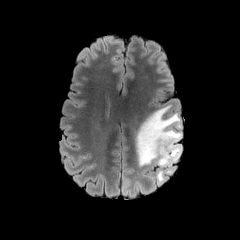
FLAIR MR image.
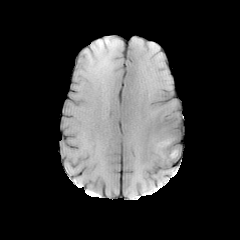
T1-weighted magnetic resonance.
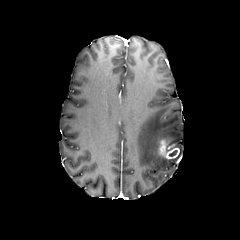
Post-contrast T1-weighted MRI.
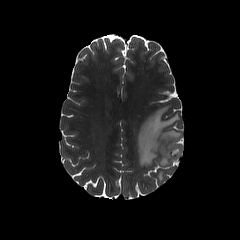
T2-weighted MR image.
Head.
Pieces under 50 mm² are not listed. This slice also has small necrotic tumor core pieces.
The peritumoral edema lies within <bbox>135, 105, 181, 183</bbox>. The enhancing tumor is at <bbox>158, 138, 179, 159</bbox>.